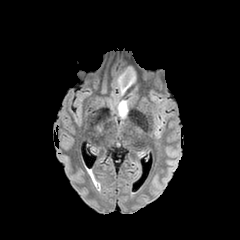
FLAIR magnetic resonance.
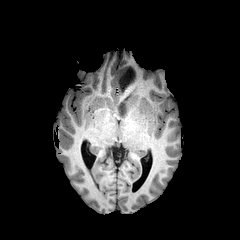
T1-weighted magnetic resonance.
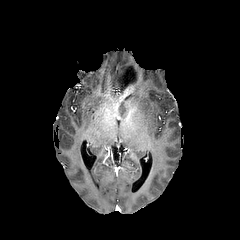
Same slice, post-contrast T1-weighted MR image.
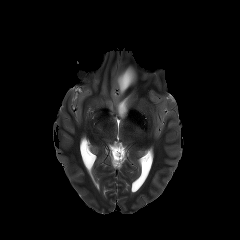
T2-weighted MR.
Brain. Axial slice. Image size 240x240.
peritumoral edema: x1=118, y1=99, x2=128, y2=119; x1=117, y1=66, x2=136, y2=87